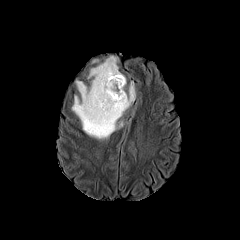
FLAIR MR.
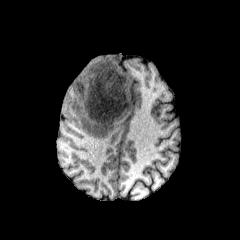
T1-weighted MRI.
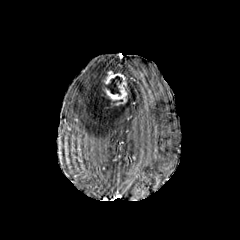
Same slice, post-contrast T1-weighted MRI.
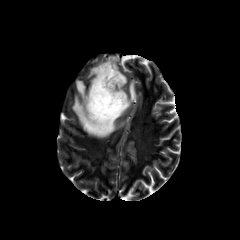
T2-weighted MRI of the same slice.
Head | 240x240 px
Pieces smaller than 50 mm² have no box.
peritumoral edema = bbox(72, 56, 135, 139)
necrotic tumor core = bbox(101, 73, 123, 104)
enhancing tumor = bbox(104, 71, 127, 105)